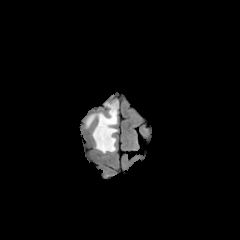
FLAIR MRI.
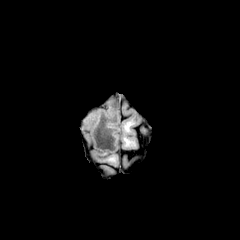
T1-weighted MR.
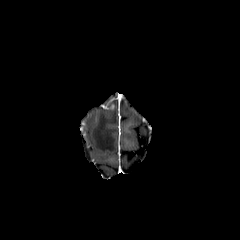
Post-contrast T1-weighted magnetic resonance.
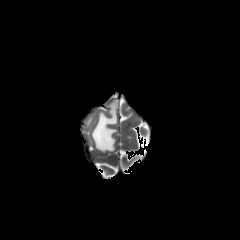
T2-weighted MRI.
Axial plane. Head.
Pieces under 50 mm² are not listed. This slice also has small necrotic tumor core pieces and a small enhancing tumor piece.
peritumoral edema: region(86, 115, 95, 126); region(92, 107, 117, 153)